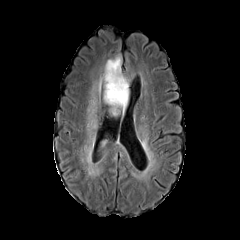
FLAIR magnetic resonance.
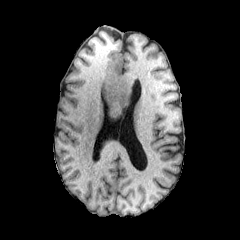
T1-weighted magnetic resonance.
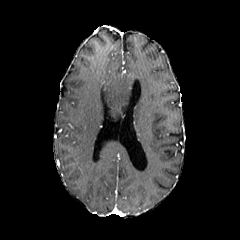
Post-contrast T1-weighted MR.
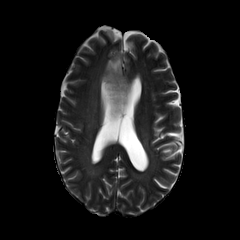
T2-weighted MRI.
Axial slice
{
  "peritumoral_edema": [
    "bbox=[99, 56, 129, 115]"
  ]
}